FLAIR magnetic resonance.
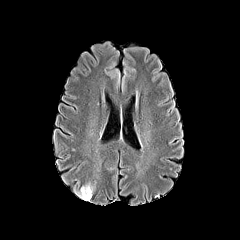
T1-weighted MR.
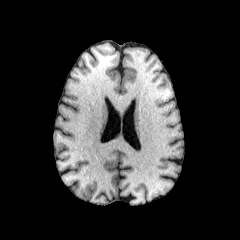
Post-contrast T1-weighted MR.
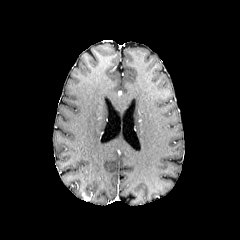
T2-weighted MR image.
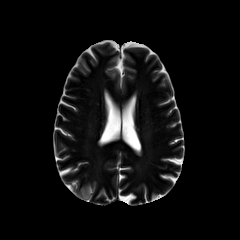
240x240 px | Head
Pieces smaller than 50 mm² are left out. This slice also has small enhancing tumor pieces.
The peritumoral edema is located at [x1=76, y1=183, x2=94, y2=199].